Brain.
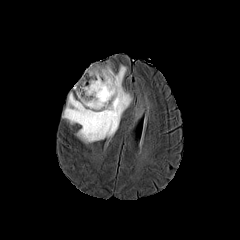
FLAIR MR image.
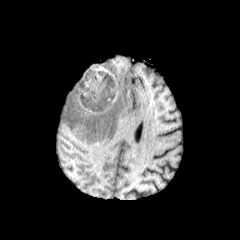
T1-weighted MRI.
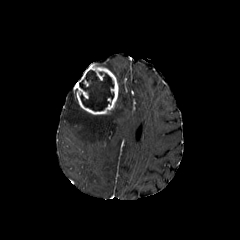
Post-contrast T1-weighted MR image.
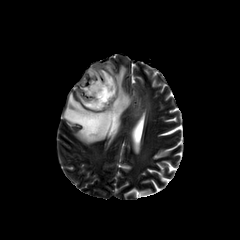
T2-weighted MR.
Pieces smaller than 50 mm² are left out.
The peritumoral edema is located at <box>62,64,133,143</box>. The largest necrotic tumor core region lies within <box>79,70,114,111</box>. The largest enhancing tumor region is bounded by <box>73,63,118,114</box>.